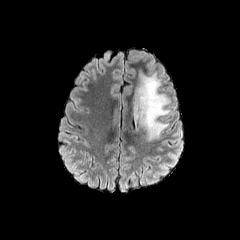
FLAIR MRI.
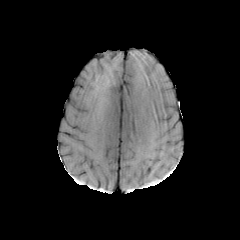
Same slice, T1-weighted MR image.
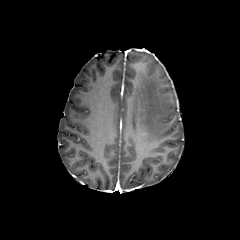
Post-contrast T1-weighted magnetic resonance.
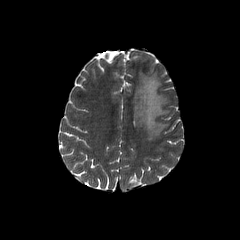
T2-weighted MRI of the same slice.
Axial slice, Brain
peritumoral edema: bounding box region(135, 69, 169, 141)